FLAIR MR.
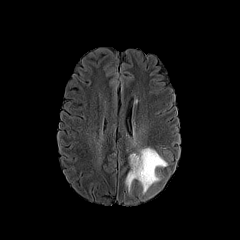
T1-weighted MR.
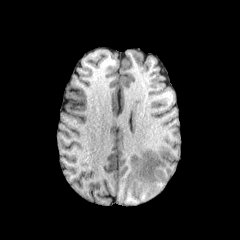
Post-contrast T1-weighted MRI.
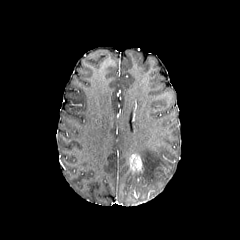
T2-weighted magnetic resonance.
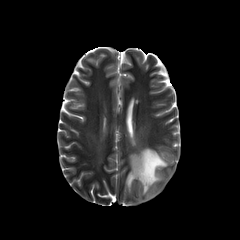
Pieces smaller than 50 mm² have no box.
enhancing tumor — 129, 154, 143, 173
peritumoral edema — 125, 147, 167, 194